Brain. 240x240 px.
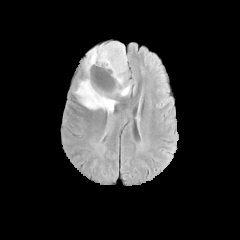
FLAIR MR image.
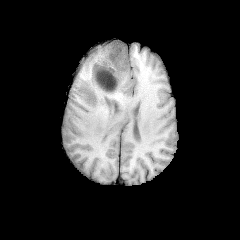
T1-weighted MR.
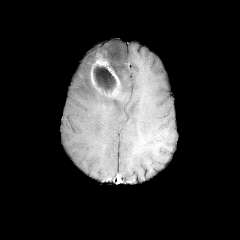
Same slice, post-contrast T1-weighted MR.
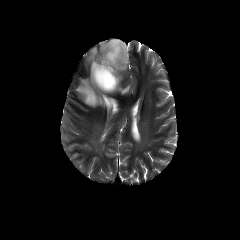
T2-weighted magnetic resonance.
Annotated regions:
- enhancing tumor: 90:51:121:96
- necrotic tumor core: 93:65:115:92
- peritumoral edema: 84:41:127:83, 73:78:116:113, 117:84:130:96